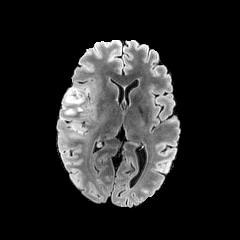
FLAIR MR image.
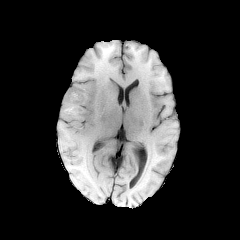
Same slice, T1-weighted magnetic resonance.
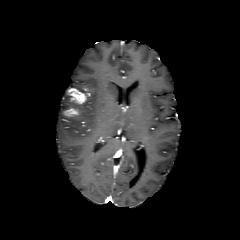
Post-contrast T1-weighted magnetic resonance.
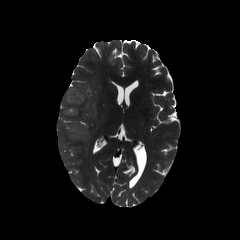
T2-weighted magnetic resonance of the same slice.
Head
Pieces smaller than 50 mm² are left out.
{
  "enhancing_tumor": [
    "(68,88,86,103)",
    "(64,107,78,116)"
  ],
  "peritumoral_edema": [
    "(65,122,84,138)",
    "(63,91,80,110)",
    "(71,87,90,96)"
  ]
}